FLAIR magnetic resonance.
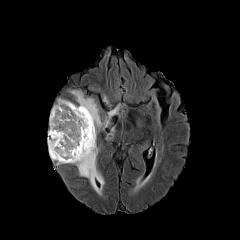
T1-weighted MR image.
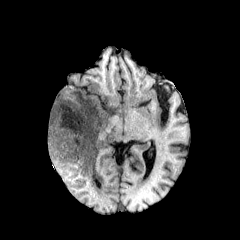
Post-contrast T1-weighted MR image.
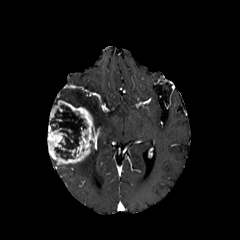
T2-weighted MR.
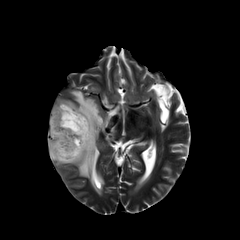
Head, Axial view
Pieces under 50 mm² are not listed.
The largest necrotic tumor core region lies within [50, 105, 86, 160]. The largest enhancing tumor region is bounded by [47, 100, 97, 165]. The 2 largest peritumoral edema regions appear at [72, 149, 104, 194], [58, 90, 119, 130].